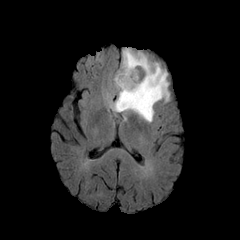
FLAIR MR image.
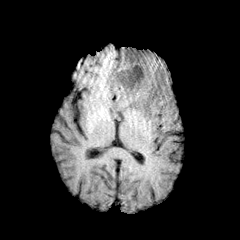
T1-weighted MRI.
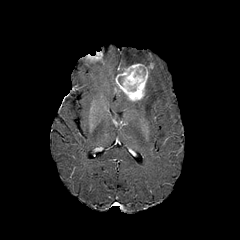
Post-contrast T1-weighted MRI of the same slice.
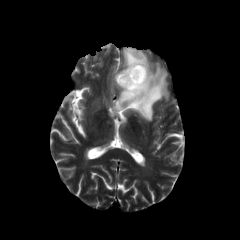
T2-weighted magnetic resonance.
Brain. 240x240.
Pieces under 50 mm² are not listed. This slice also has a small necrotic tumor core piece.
peritumoral edema: rect(110, 48, 169, 122)
enhancing tumor: rect(115, 63, 152, 101)